FLAIR MR image.
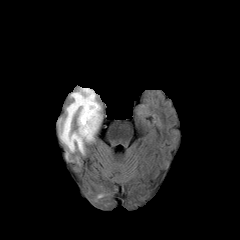
T1-weighted magnetic resonance.
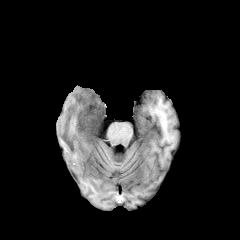
Post-contrast T1-weighted MRI.
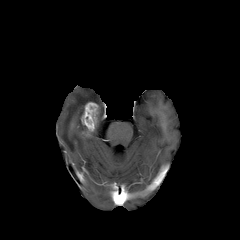
T2-weighted MR.
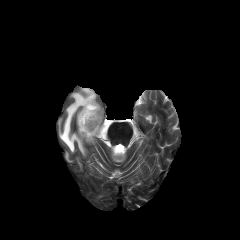
Axial view; Head; 240x240
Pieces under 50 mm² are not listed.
enhancing_tumor:
  - 80,102,100,137
peritumoral_edema:
  - 58,87,101,155